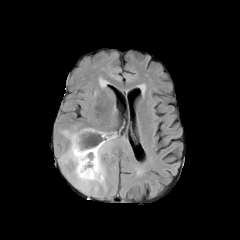
FLAIR MRI.
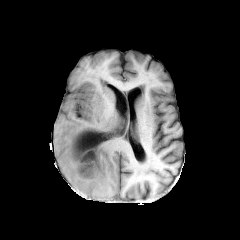
T1-weighted MRI.
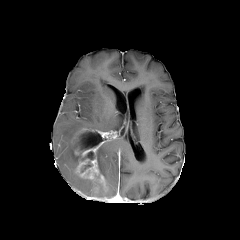
Post-contrast T1-weighted MR of the same slice.
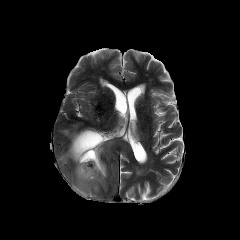
T2-weighted MR.
240x240 px, Axial plane
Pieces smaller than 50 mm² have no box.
peritumoral_edema:
  - 63,130,77,142
  - 97,140,113,180
  - 59,144,106,194
necrotic_tumor_core:
  - 81,151,94,160
  - 74,130,102,150
enhancing_tumor:
  - 71,129,106,187